Brain
FLAIR MRI.
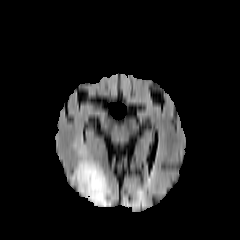
T1-weighted MRI.
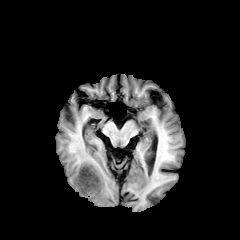
Post-contrast T1-weighted magnetic resonance.
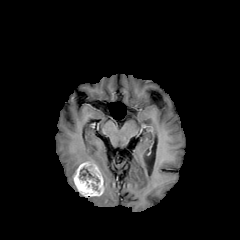
T2-weighted MR image.
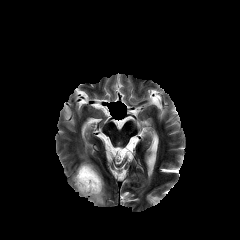
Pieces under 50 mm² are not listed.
The 2 largest peritumoral edema regions appear at <bbox>85, 166, 110, 206</bbox>, <bbox>75, 146, 95, 171</bbox>. The largest enhancing tumor region is at <bbox>73, 162, 104, 196</bbox>. The largest necrotic tumor core region appears at <bbox>79, 168, 94, 179</bbox>.